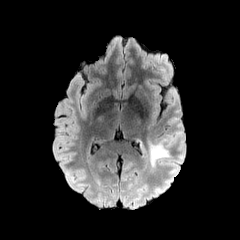
FLAIR MR.
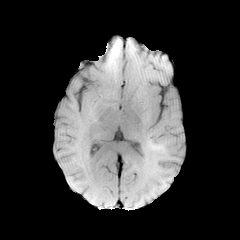
T1-weighted MRI.
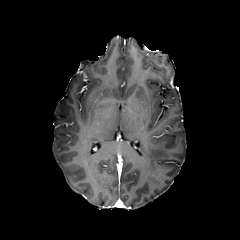
Post-contrast T1-weighted magnetic resonance.
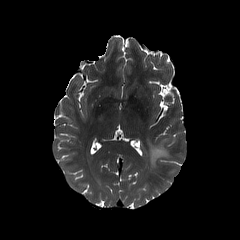
T2-weighted MRI.
Axial slice. Brain. 240x240.
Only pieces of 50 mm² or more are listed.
peritumoral edema: <bbox>149, 137, 173, 168</bbox>